FLAIR magnetic resonance.
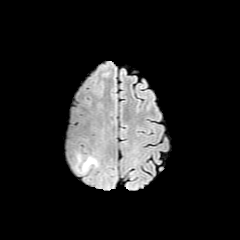
T1-weighted MRI.
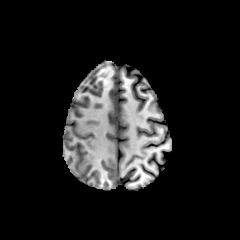
Post-contrast T1-weighted magnetic resonance.
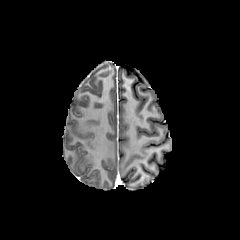
T2-weighted magnetic resonance.
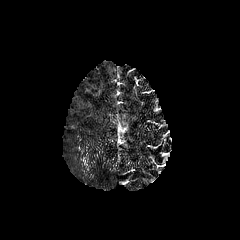
Head
{
  "peritumoral_edema": [
    "[74, 154, 96, 173]"
  ]
}